FLAIR MR.
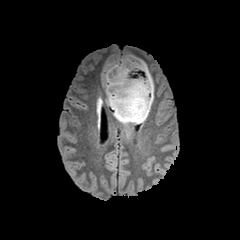
T1-weighted MR image.
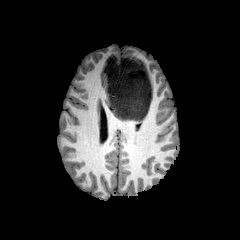
Post-contrast T1-weighted MR image.
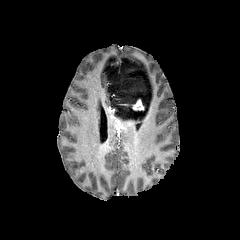
T2-weighted MR image.
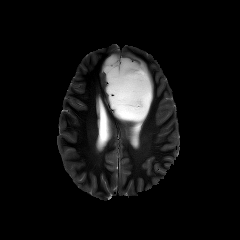
Axial plane
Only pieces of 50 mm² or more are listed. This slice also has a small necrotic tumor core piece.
enhancing tumor: x1=132, y1=99, x2=144, y2=110 | peritumoral edema: x1=103, y1=55, x2=154, y2=123